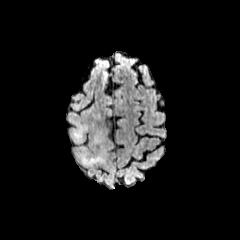
FLAIR MR image.
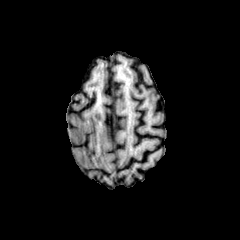
T1-weighted MR of the same slice.
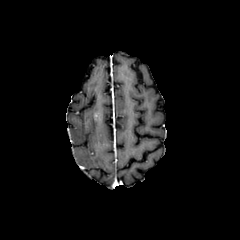
Post-contrast T1-weighted MRI of the same slice.
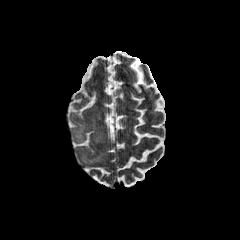
T2-weighted MRI of the same slice.
Head
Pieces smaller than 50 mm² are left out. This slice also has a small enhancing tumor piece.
peritumoral edema — <bbox>78, 152, 103, 165</bbox>, <bbox>70, 118, 87, 142</bbox>